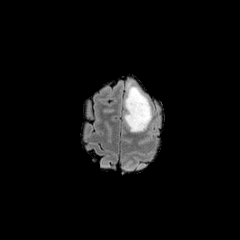
FLAIR magnetic resonance.
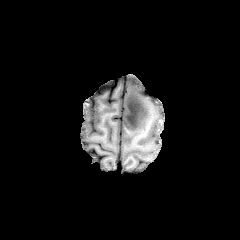
T1-weighted magnetic resonance of the same slice.
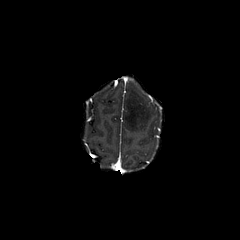
Post-contrast T1-weighted magnetic resonance.
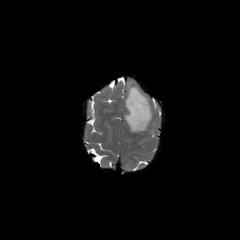
Same slice, T2-weighted magnetic resonance.
240x240
{"peritumoral_edema": ["(125,82,151,131)"], "necrotic_tumor_core": ["(125,103,138,128)"]}